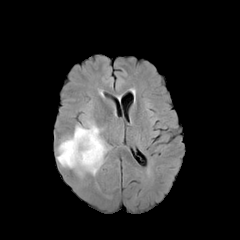
FLAIR MRI.
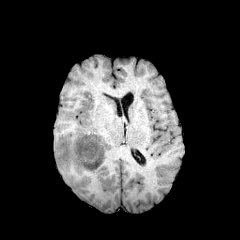
T1-weighted MRI of the same slice.
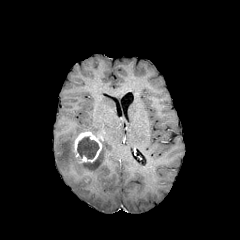
Post-contrast T1-weighted MR.
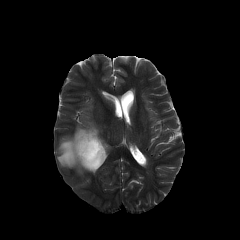
T2-weighted MR of the same slice.
enhancing tumor: <box>73,131,102,163</box>
peritumoral edema: <box>57,121,108,175</box>
necrotic tumor core: <box>77,137,98,158</box>